FLAIR MR image.
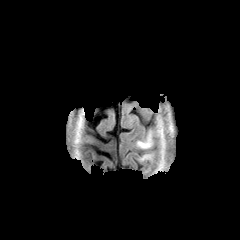
T1-weighted MRI.
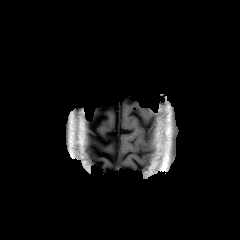
Post-contrast T1-weighted magnetic resonance.
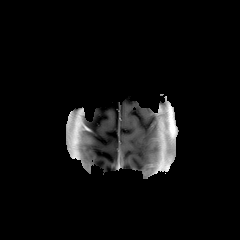
T2-weighted MR image.
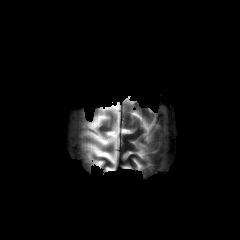
Axial slice; Brain
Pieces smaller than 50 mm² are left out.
peritumoral edema: [137, 134, 150, 148]